Image covers 240 mm x 240 mm. Head. Axial slice.
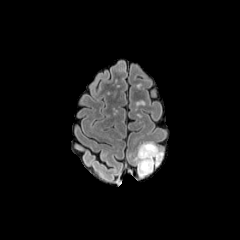
FLAIR magnetic resonance.
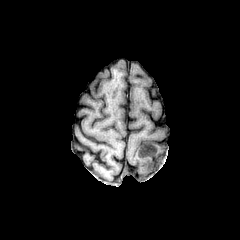
T1-weighted MR image.
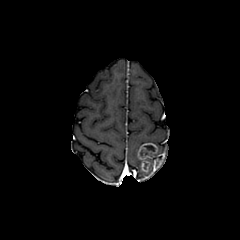
Post-contrast T1-weighted magnetic resonance of the same slice.
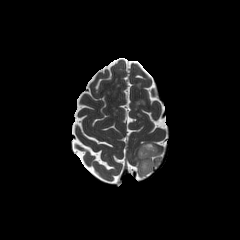
T2-weighted MR of the same slice.
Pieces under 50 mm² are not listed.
{
  "enhancing_tumor": [
    "[x1=137, y1=143, x2=157, y2=172]"
  ],
  "necrotic_tumor_core": [
    "[x1=144, y1=145, x2=155, y2=151]"
  ],
  "peritumoral_edema": [
    "[x1=133, y1=156, x2=152, y2=176]"
  ]
}